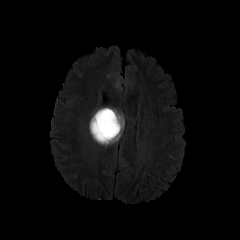
FLAIR magnetic resonance.
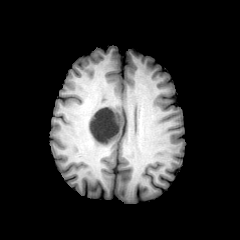
T1-weighted magnetic resonance.
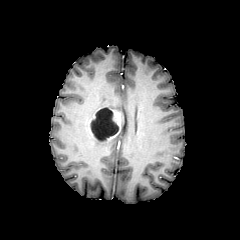
Post-contrast T1-weighted MR of the same slice.
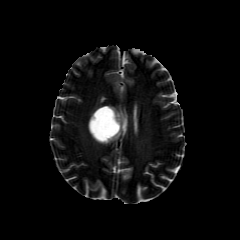
Same slice, T2-weighted MRI.
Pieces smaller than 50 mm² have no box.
Annotated regions:
- enhancing tumor: [x1=100, y1=109, x2=122, y2=142], [x1=89, y1=114, x2=95, y2=137]
- peritumoral edema: [x1=93, y1=106, x2=124, y2=145]
- necrotic tumor core: [x1=90, y1=109, x2=118, y2=141]